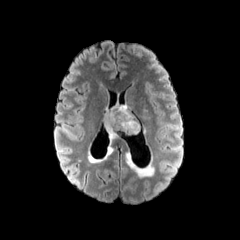
FLAIR magnetic resonance.
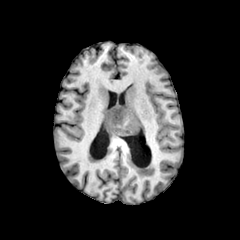
T1-weighted magnetic resonance.
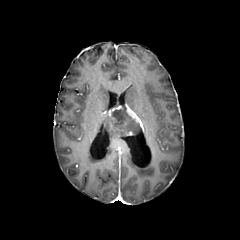
Post-contrast T1-weighted MRI of the same slice.
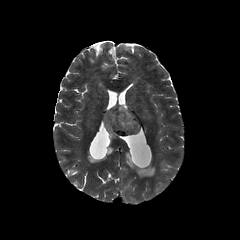
T2-weighted MRI.
Axial slice
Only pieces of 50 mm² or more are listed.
peritumoral edema = l=102, t=117, r=116, b=140
necrotic tumor core = l=112, t=106, r=140, b=133
enhancing tumor = l=124, t=104, r=139, b=123; l=104, t=105, r=136, b=136